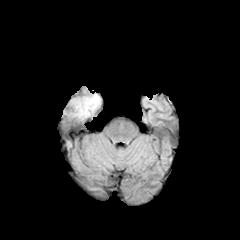
FLAIR MR.
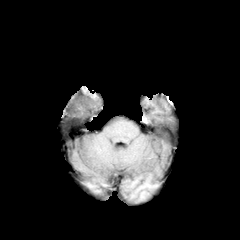
Same slice, T1-weighted MRI.
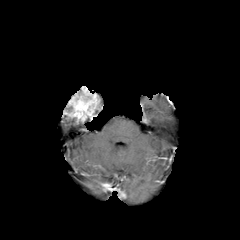
Same slice, post-contrast T1-weighted MR image.
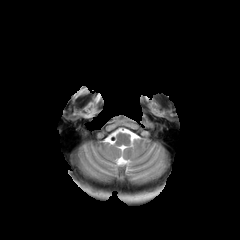
T2-weighted MRI.
Axial plane
The enhancing tumor is bounded by 63, 86, 100, 123.